FLAIR MR image.
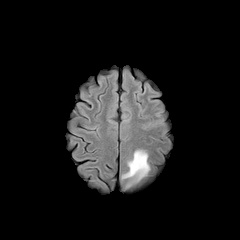
T1-weighted MR image.
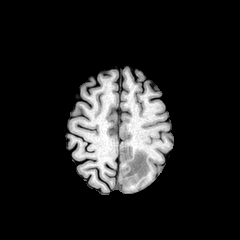
Post-contrast T1-weighted MR.
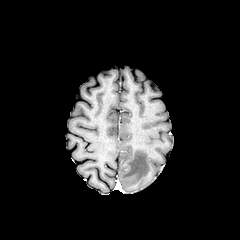
T2-weighted MRI.
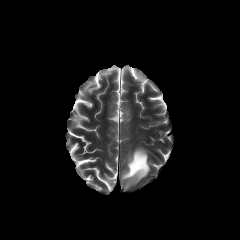
Brain.
Findings:
* peritumoral edema: bbox=[121, 149, 149, 187]